Slice 132/155. Brain.
FLAIR MRI.
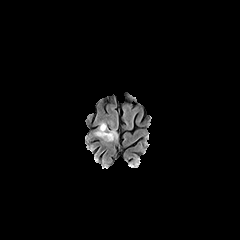
T1-weighted MRI.
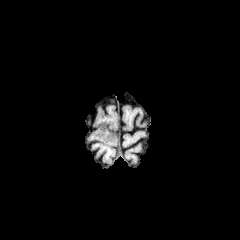
Post-contrast T1-weighted MR image.
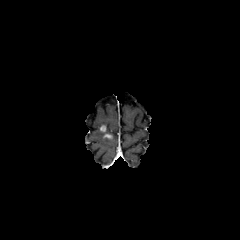
T2-weighted MRI.
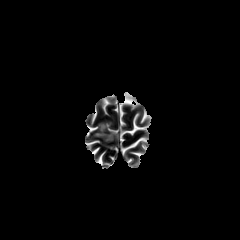
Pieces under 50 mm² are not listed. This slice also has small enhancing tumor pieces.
Findings:
- peritumoral edema: 94,127,117,141